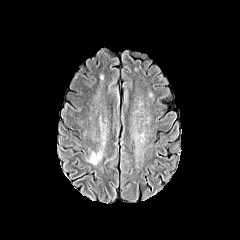
FLAIR MRI.
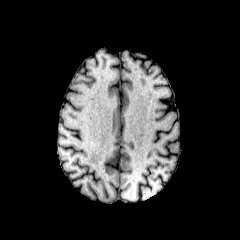
T1-weighted MR.
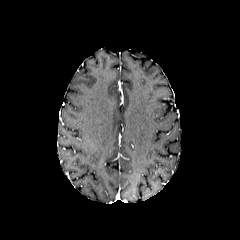
Post-contrast T1-weighted MRI.
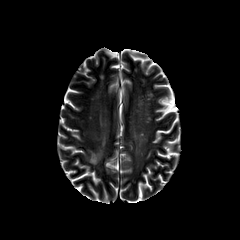
T2-weighted magnetic resonance of the same slice.
Axial view
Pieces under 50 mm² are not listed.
• peritumoral edema: box(88, 149, 102, 165)